FLAIR MRI.
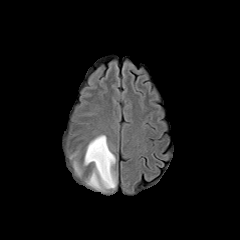
T1-weighted MR.
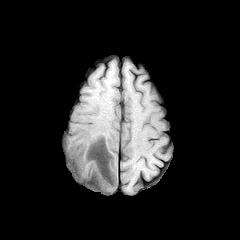
Post-contrast T1-weighted MR image.
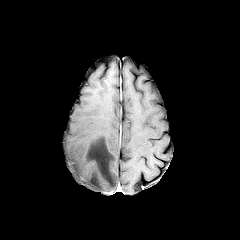
T2-weighted magnetic resonance.
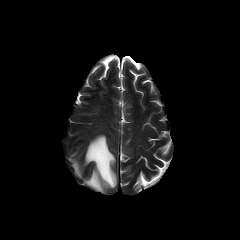
Axial view
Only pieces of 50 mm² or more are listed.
{"peritumoral_edema": ["73:162:80:175", "84:135:116:190"]}